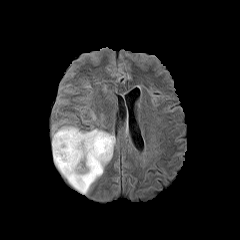
FLAIR MR.
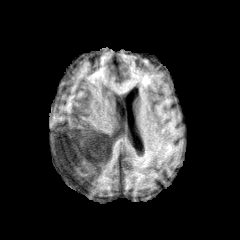
T1-weighted MR.
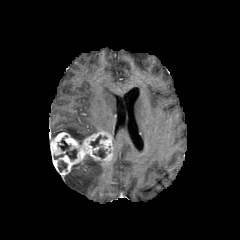
Post-contrast T1-weighted MR image.
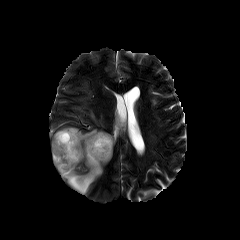
T2-weighted MRI of the same slice.
Brain, Image size 240x240
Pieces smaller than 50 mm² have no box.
enhancing tumor: x1=50, y1=130, x2=113, y2=175 | necrotic tumor core: x1=58, y1=138, x2=77, y2=159; x1=94, y1=148, x2=106, y2=158; x1=90, y1=135, x2=106, y2=147; x1=58, y1=161, x2=67, y2=171 | peritumoral edema: x1=53, y1=126, x2=100, y2=144; x1=63, y1=156, x2=104, y2=194